FLAIR MRI.
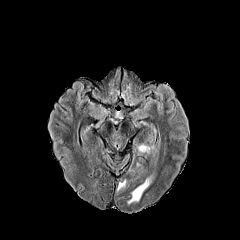
T1-weighted MRI.
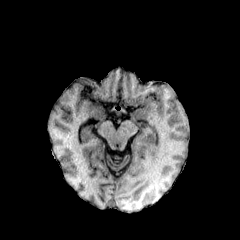
Post-contrast T1-weighted MR image.
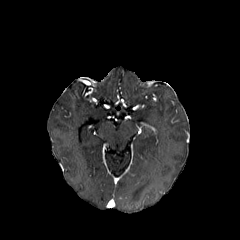
T2-weighted MRI.
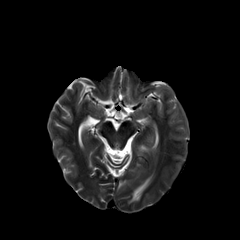
Head | Axial view
3 peritumoral edema regions are located at rect(138, 145, 149, 152); rect(117, 180, 126, 189); rect(128, 176, 151, 203).